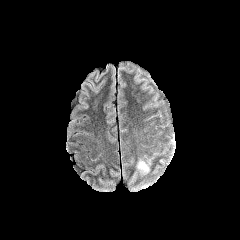
FLAIR MRI.
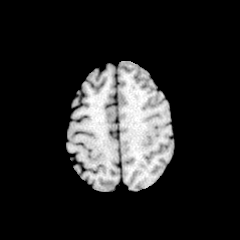
T1-weighted MRI.
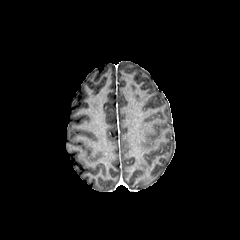
Post-contrast T1-weighted magnetic resonance.
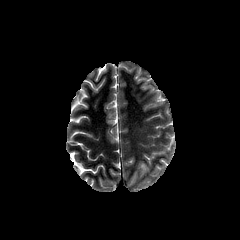
T2-weighted MRI of the same slice.
Axial view.
peritumoral_edema:
  - bbox(138, 161, 148, 171)